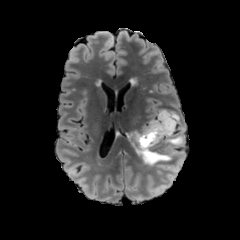
FLAIR MRI.
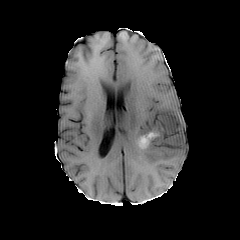
T1-weighted MRI.
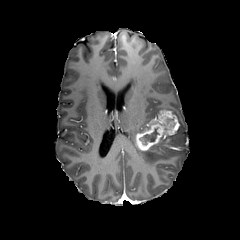
Post-contrast T1-weighted magnetic resonance of the same slice.
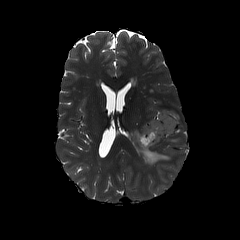
T2-weighted MR of the same slice.
Image size 240x240; Axial view
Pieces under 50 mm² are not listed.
- necrotic tumor core: l=143, t=129, r=158, b=144
- peritumoral edema: l=164, t=132, r=184, b=145; l=131, t=131, r=172, b=166
- enhancing tumor: l=135, t=109, r=179, b=151